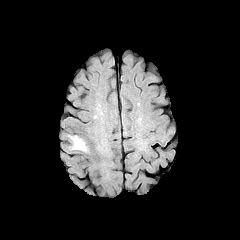
FLAIR magnetic resonance.
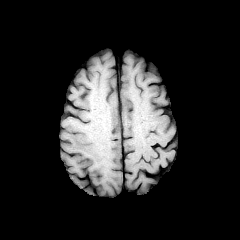
T1-weighted magnetic resonance.
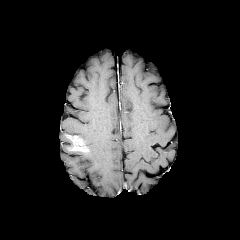
Post-contrast T1-weighted MR.
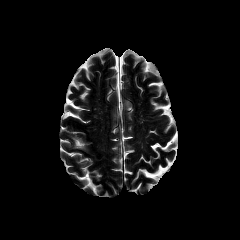
T2-weighted MR.
Head. 240x240. Axial slice.
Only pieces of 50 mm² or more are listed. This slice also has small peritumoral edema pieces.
Findings:
- enhancing tumor: [68,135,88,151]